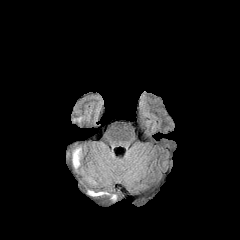
FLAIR MR image.
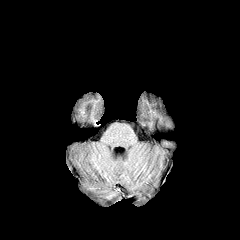
Same slice, T1-weighted MR.
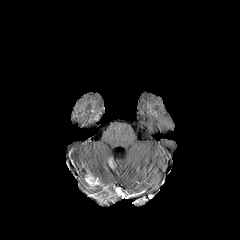
Same slice, post-contrast T1-weighted MR.
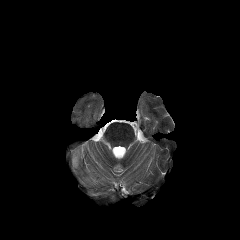
Same slice, T2-weighted MR.
Axial plane
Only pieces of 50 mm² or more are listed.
{
  "peritumoral_edema": [
    "[73, 148, 81, 167]",
    "[88, 190, 108, 195]"
  ],
  "enhancing_tumor": [
    "[85, 172, 98, 185]"
  ]
}